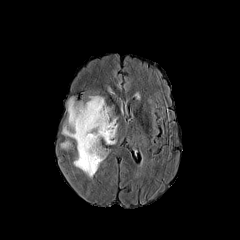
FLAIR MRI.
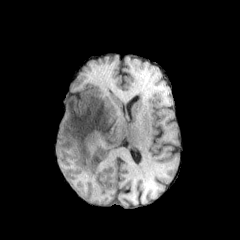
Same slice, T1-weighted magnetic resonance.
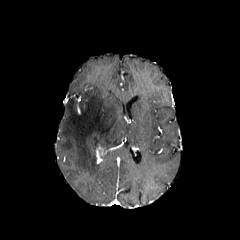
Post-contrast T1-weighted MR of the same slice.
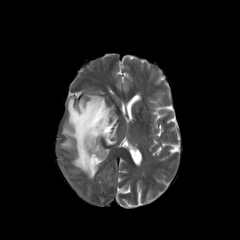
T2-weighted MRI.
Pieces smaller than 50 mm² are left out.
peritumoral edema = (62, 95, 117, 180), (61, 140, 71, 148)
enhancing tumor = (96, 146, 105, 163)